240x240, Slice 48/155, Head
FLAIR magnetic resonance.
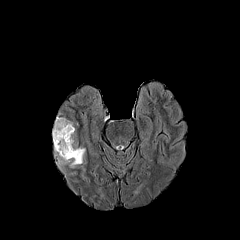
T1-weighted MR.
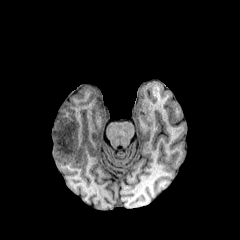
Post-contrast T1-weighted magnetic resonance.
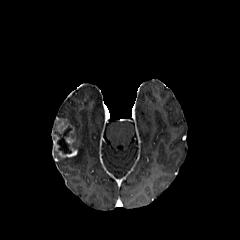
T2-weighted MRI.
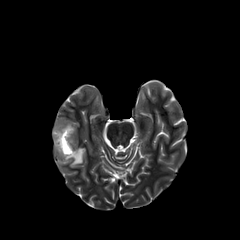
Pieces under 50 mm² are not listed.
The largest peritumoral edema region lies within x1=54 y1=139 x2=85 y2=168. The largest necrotic tumor core region is located at x1=54 y1=126 x2=72 y2=153. The enhancing tumor is at x1=52 y1=117 x2=77 y2=157.